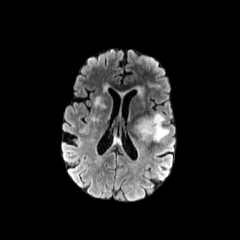
FLAIR MR image.
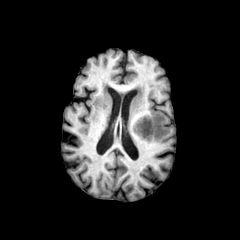
Same slice, T1-weighted MRI.
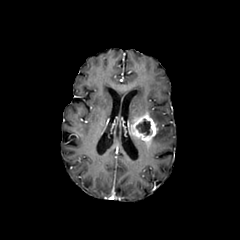
Post-contrast T1-weighted MRI.
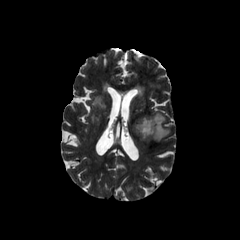
Same slice, T2-weighted MR image.
Image size 240x240
- necrotic tumor core: (left=136, top=119, right=150, bottom=135)
- peritumoral edema: (left=150, top=112, right=169, bottom=141)
- enhancing tumor: (left=131, top=111, right=158, bottom=148)